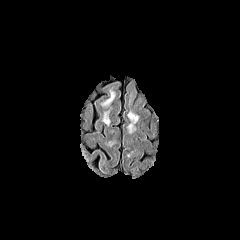
FLAIR MR.
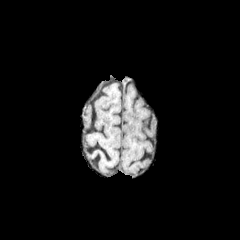
T1-weighted MRI.
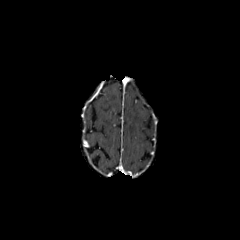
Post-contrast T1-weighted MRI.
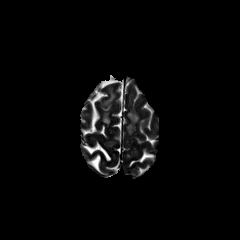
Same slice, T2-weighted MR image.
Brain; 240x240; Axial slice
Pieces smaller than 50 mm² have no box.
The largest peritumoral edema region lies within 128 112 138 122.